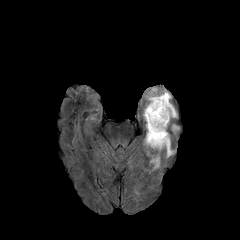
FLAIR MRI.
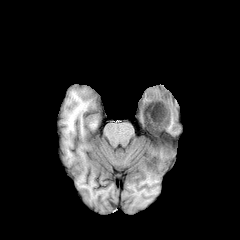
Same slice, T1-weighted magnetic resonance.
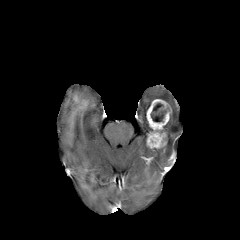
Same slice, post-contrast T1-weighted magnetic resonance.
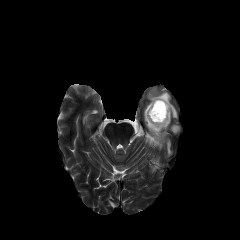
T2-weighted MRI.
Head. Axial view.
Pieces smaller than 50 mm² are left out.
necrotic_tumor_core:
  - x1=151, y1=103, x2=166, y2=121
peritumoral_edema:
  - x1=151, y1=156, x2=159, y2=169
  - x1=171, y1=124, x2=179, y2=133
  - x1=157, y1=132, x2=172, y2=157
  - x1=143, y1=87, x2=177, y2=132
enhancing_tumor:
  - x1=146, y1=99, x2=171, y2=148